FLAIR magnetic resonance.
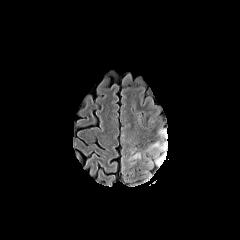
T1-weighted magnetic resonance.
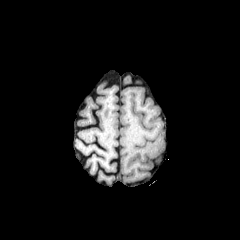
Post-contrast T1-weighted MR image.
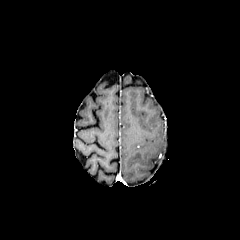
T2-weighted MRI.
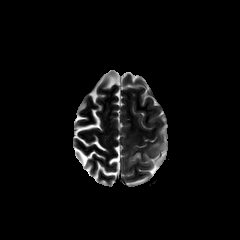
Head
{
  "peritumoral_edema": [
    "[158,128,166,138]",
    "[121,141,167,173]"
  ]
}